FLAIR MRI.
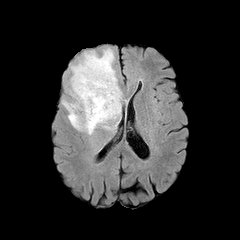
T1-weighted MR image.
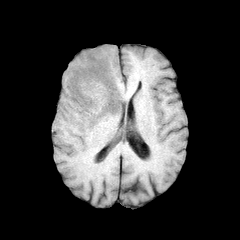
Post-contrast T1-weighted MR.
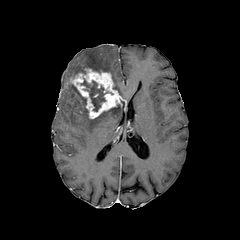
T2-weighted MR image.
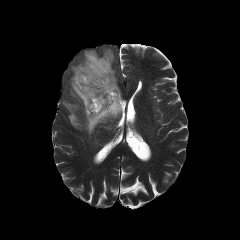
Axial slice, Head
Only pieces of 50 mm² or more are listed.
The largest enhancing tumor region lies within 67:68:126:118. The necrotic tumor core lies within 81:79:105:111. The 2 largest peritumoral edema regions are located at 62:84:121:134, 71:48:121:96.